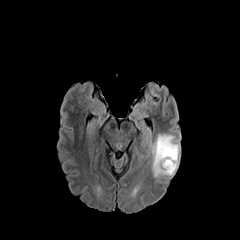
FLAIR MRI.
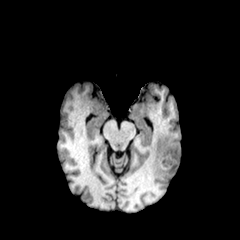
T1-weighted MRI.
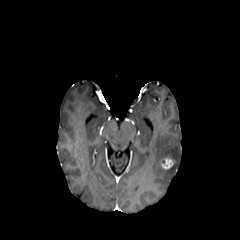
Post-contrast T1-weighted MRI.
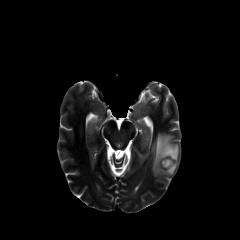
T2-weighted magnetic resonance.
240x240, Axial view, Brain
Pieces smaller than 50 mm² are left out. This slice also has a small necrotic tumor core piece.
The peritumoral edema is located at [151, 133, 180, 177]. The enhancing tumor appears at [161, 157, 174, 169].